Axial plane, Brain, Slice 78/155
FLAIR MRI.
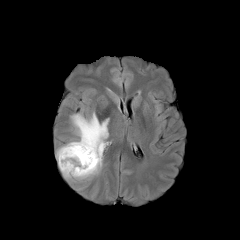
T1-weighted MR.
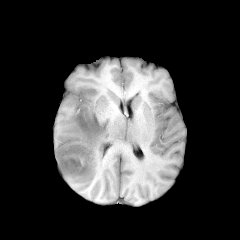
Post-contrast T1-weighted magnetic resonance.
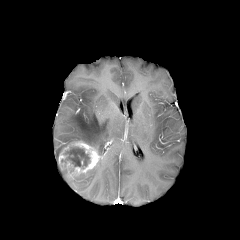
T2-weighted MR image.
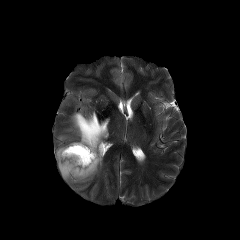
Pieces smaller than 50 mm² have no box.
{"enhancing_tumor": ["left=58, top=141, right=101, bottom=178"], "peritumoral_edema": ["left=56, top=112, right=109, bottom=181"], "necrotic_tumor_core": ["left=64, top=146, right=90, bottom=166"]}